FLAIR MR image.
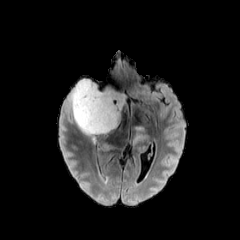
T1-weighted MR.
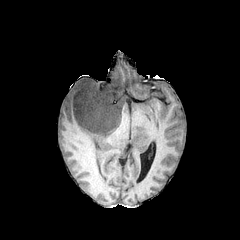
Post-contrast T1-weighted MRI.
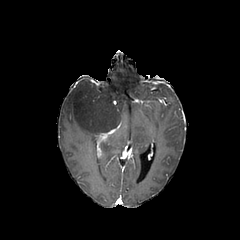
T2-weighted MR image.
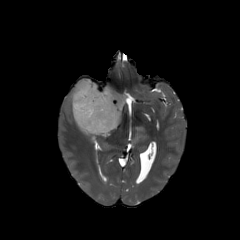
Axial plane, Head
- peritumoral edema: bbox=[69, 77, 125, 141]; bbox=[126, 121, 149, 148]